Slice index 46 | Image width 240 mm
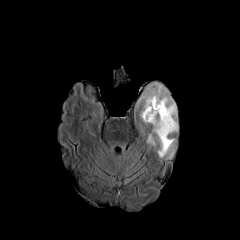
FLAIR MR image.
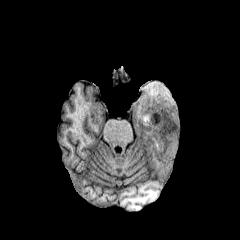
Same slice, T1-weighted MRI.
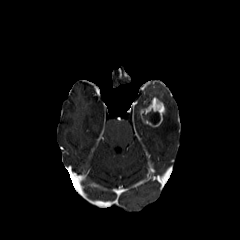
Post-contrast T1-weighted magnetic resonance.
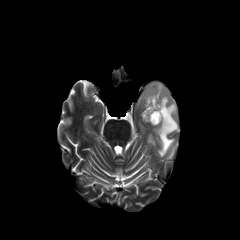
T2-weighted MR image.
Findings:
• necrotic tumor core: box(142, 109, 160, 124)
• enhancing tumor: box(140, 97, 165, 127)
• peritumoral edema: box(137, 83, 178, 158)